Head; Image width 240 mm, 1.00 mm slice spacing
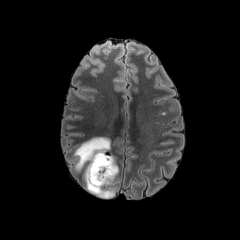
FLAIR MR.
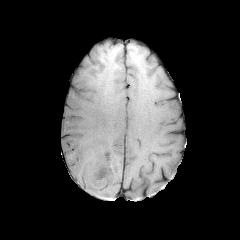
Same slice, T1-weighted MRI.
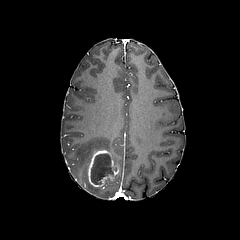
Post-contrast T1-weighted magnetic resonance.
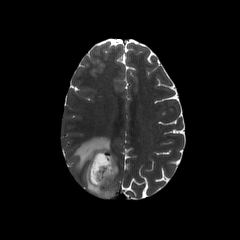
T2-weighted MR image of the same slice.
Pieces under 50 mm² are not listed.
Findings:
- peritumoral edema: bbox=[70, 137, 117, 198]
- enhancing tumor: bbox=[85, 149, 118, 187]
- necrotic tumor core: bbox=[91, 153, 113, 184]